FLAIR MRI.
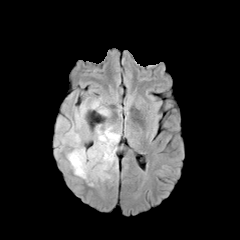
T1-weighted MR.
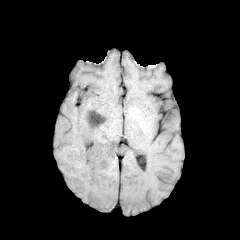
Post-contrast T1-weighted magnetic resonance.
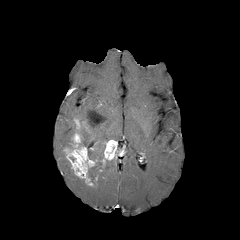
T2-weighted magnetic resonance.
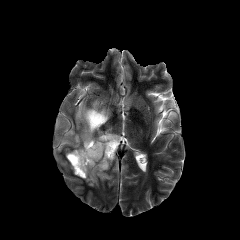
Axial plane. Head. 240x240 px.
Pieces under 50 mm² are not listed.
<segmentation>
  <enhancing_tumor>bbox=[100, 139, 117, 167]; bbox=[63, 132, 97, 185]</enhancing_tumor>
  <necrotic_tumor_core>bbox=[88, 160, 102, 183]</necrotic_tumor_core>
  <peritumoral_edema>bbox=[96, 156, 118, 181]; bbox=[55, 99, 121, 159]</peritumoral_edema>
</segmentation>